Slice index 86; Brain
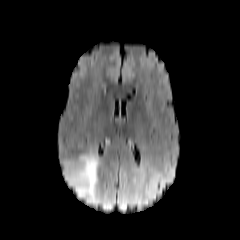
FLAIR MR image.
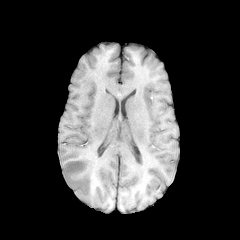
T1-weighted MR image.
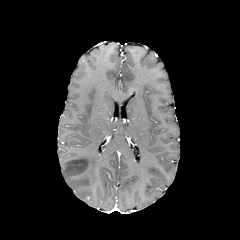
Same slice, post-contrast T1-weighted MRI.
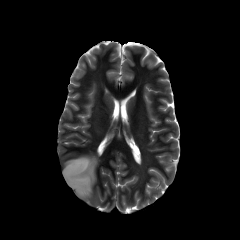
Same slice, T2-weighted MRI.
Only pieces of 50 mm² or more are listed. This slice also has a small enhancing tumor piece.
The peritumoral edema is at left=63, top=153, right=99, bottom=202.